FLAIR MR image.
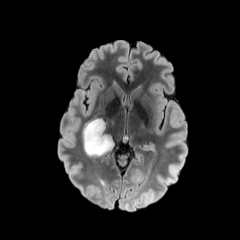
T1-weighted magnetic resonance.
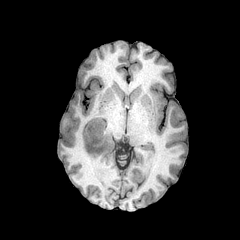
Post-contrast T1-weighted MR.
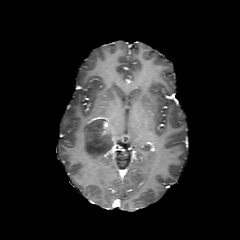
T2-weighted magnetic resonance.
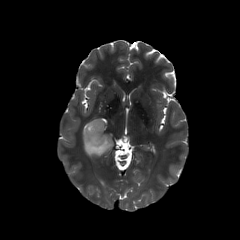
peritumoral edema: bounding box x1=82 y1=118 x2=116 y2=156